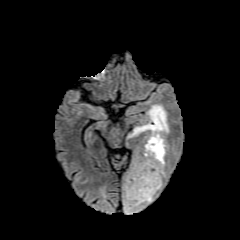
FLAIR MR.
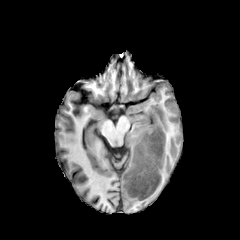
Same slice, T1-weighted MRI.
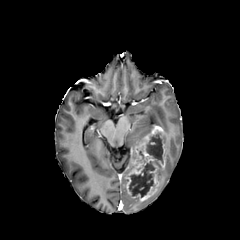
Post-contrast T1-weighted MRI.
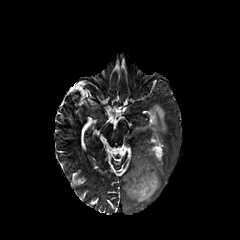
T2-weighted MRI.
240x240 | Brain
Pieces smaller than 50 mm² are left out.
peritumoral edema at [158, 169, 165, 189], [127, 104, 169, 138], [123, 184, 155, 212]
necrotic tumor core at [129, 133, 163, 197]
enhancing tumor at [124, 125, 165, 201]